Image width 240 mm; Head; Axial plane
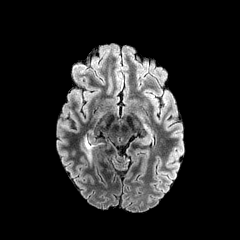
FLAIR magnetic resonance.
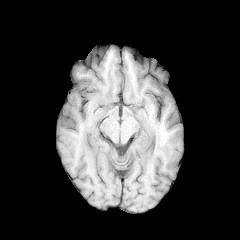
T1-weighted MR.
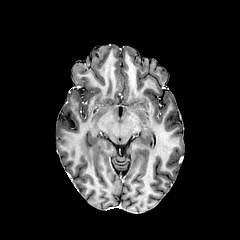
Same slice, post-contrast T1-weighted MR image.
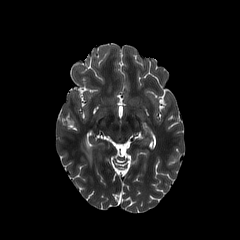
T2-weighted MRI of the same slice.
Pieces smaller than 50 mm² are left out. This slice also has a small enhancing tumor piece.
{
  "peritumoral_edema": [
    "box=[80, 135, 104, 166]"
  ]
}